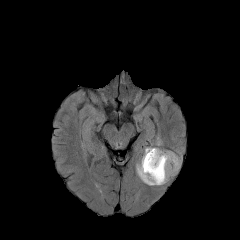
FLAIR magnetic resonance.
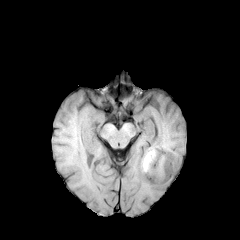
T1-weighted magnetic resonance.
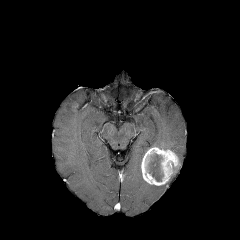
Post-contrast T1-weighted MRI.
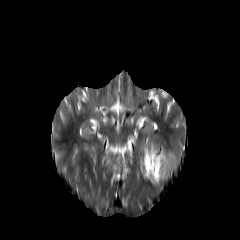
T2-weighted magnetic resonance of the same slice.
Brain
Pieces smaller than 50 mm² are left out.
peritumoral edema: bbox=[136, 136, 163, 185]; bbox=[175, 151, 182, 173]
enhancing tumor: bbox=[141, 147, 179, 185]
necrotic tumor core: bbox=[147, 154, 163, 181]